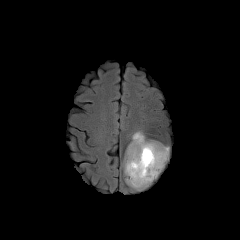
FLAIR magnetic resonance.
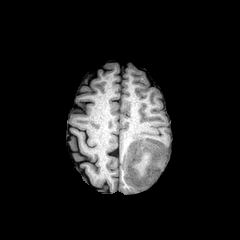
T1-weighted MR of the same slice.
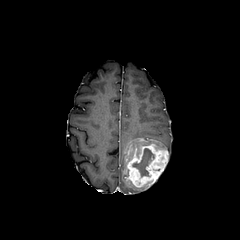
Same slice, post-contrast T1-weighted MR.
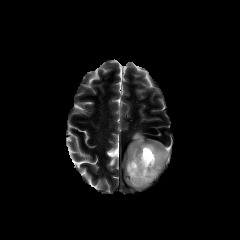
Same slice, T2-weighted MR image.
Head
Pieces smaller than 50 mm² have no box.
The necrotic tumor core is located at bbox(132, 148, 154, 176). The largest peritumoral edema region appears at bbox(125, 131, 146, 156). The enhancing tumor lies within bbox(124, 138, 168, 188).